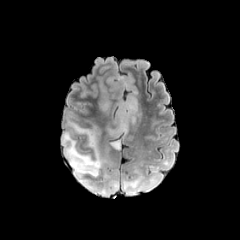
FLAIR magnetic resonance.
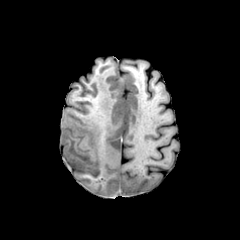
Same slice, T1-weighted MR.
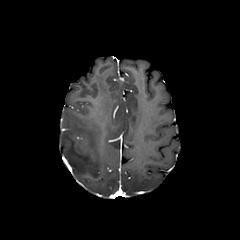
Post-contrast T1-weighted MR image.
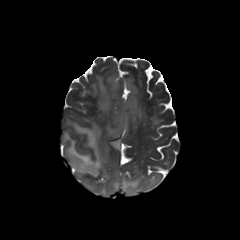
T2-weighted magnetic resonance.
Head.
5 peritumoral edema regions are located at (122,174,156,195), (101,99,110,111), (62,119,118,196), (110,139,120,150), (107,96,139,138).